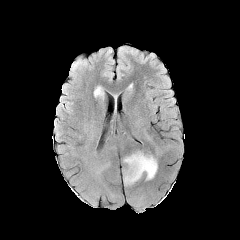
FLAIR MR image.
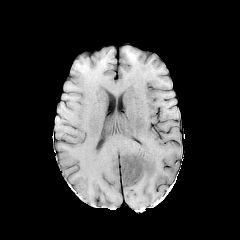
T1-weighted MR image.
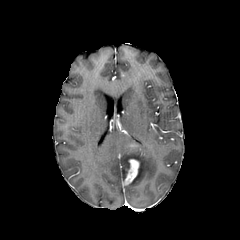
Same slice, post-contrast T1-weighted MR image.
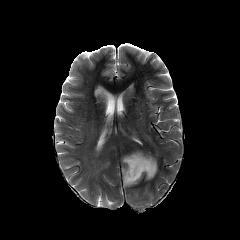
T2-weighted MRI.
Axial slice. Image size 240x240. Brain.
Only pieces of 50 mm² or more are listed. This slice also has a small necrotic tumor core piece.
Findings:
• peritumoral edema: box(122, 151, 157, 185)
• enhancing tumor: box(124, 159, 139, 185)